Axial slice, Slice index 87, Brain, Image covers 240 mm x 240 mm
FLAIR MRI.
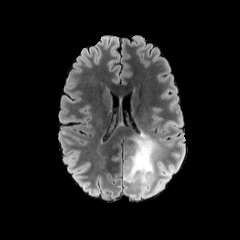
T1-weighted MR.
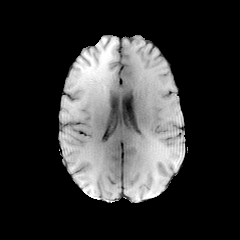
Post-contrast T1-weighted MR image.
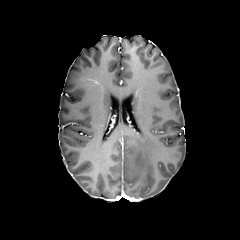
T2-weighted MRI.
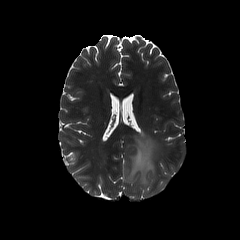
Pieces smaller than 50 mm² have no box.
peritumoral edema = region(154, 179, 166, 192); region(124, 134, 157, 191)